240x240 | Image width 240 mm
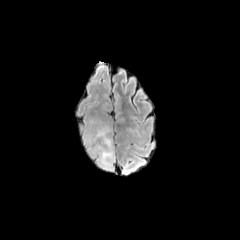
FLAIR MR image.
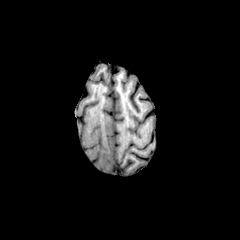
Same slice, T1-weighted MR image.
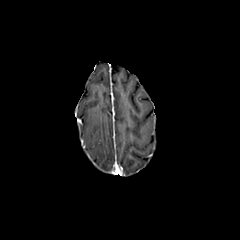
Same slice, post-contrast T1-weighted magnetic resonance.
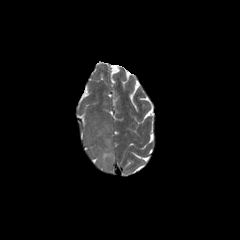
T2-weighted MR image.
The peritumoral edema is at box(88, 126, 114, 169).